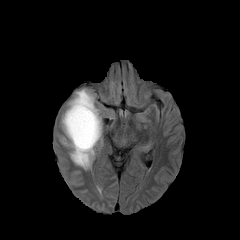
FLAIR magnetic resonance.
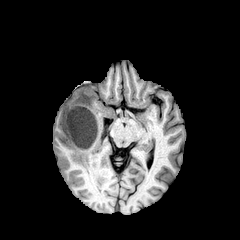
T1-weighted magnetic resonance of the same slice.
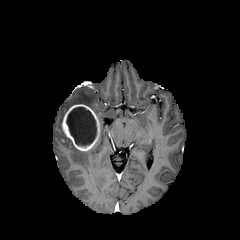
Same slice, post-contrast T1-weighted MRI.
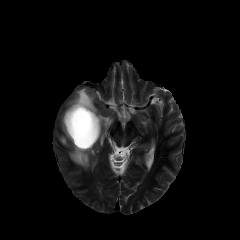
T2-weighted MR image of the same slice.
Axial slice
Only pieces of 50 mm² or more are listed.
necrotic tumor core = [66,107,96,145]
peritumoral edema = [68,88,102,140], [62,137,97,169]
enhancing tumor = [62,104,100,151]